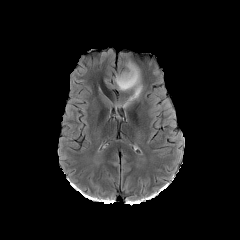
FLAIR MR image.
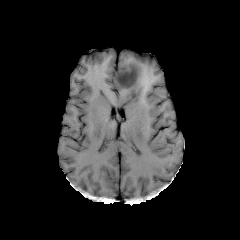
T1-weighted MR of the same slice.
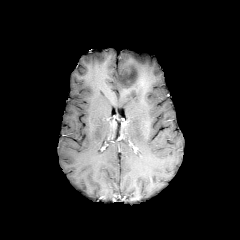
Same slice, post-contrast T1-weighted MR.
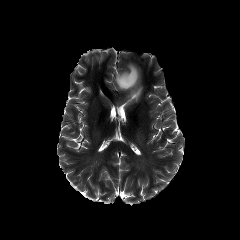
T2-weighted MR image.
240x240 px, Axial slice, Brain
Segmented structures:
• peritumoral edema: (114,62,142,107)
• necrotic tumor core: (119,71,135,86)